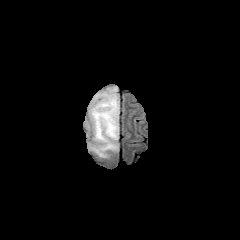
FLAIR MR image.
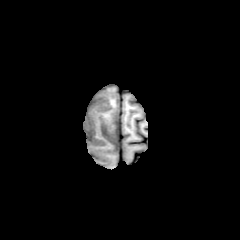
T1-weighted MR of the same slice.
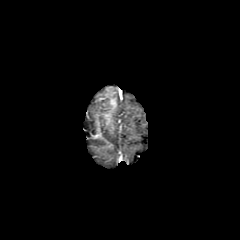
Post-contrast T1-weighted MR.
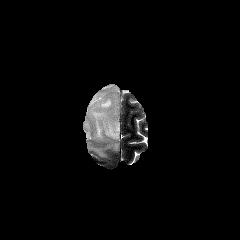
Same slice, T2-weighted MR.
peritumoral edema — {"x1": 84, "y1": 86, "x2": 119, "y2": 157}